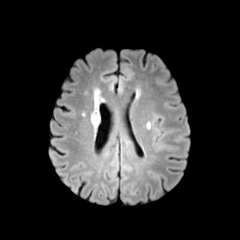
FLAIR magnetic resonance.
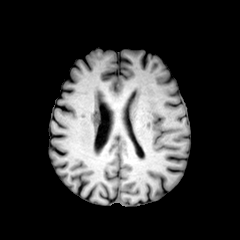
T1-weighted magnetic resonance of the same slice.
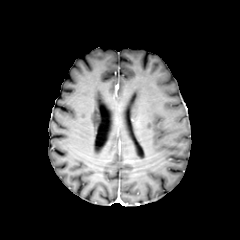
Same slice, post-contrast T1-weighted MRI.
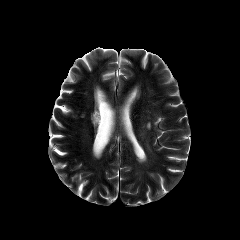
T2-weighted MRI.
The peritumoral edema lies within (90,107,100,126).